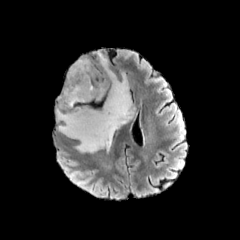
FLAIR MR image.
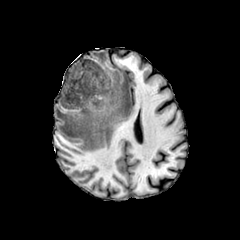
Same slice, T1-weighted MR image.
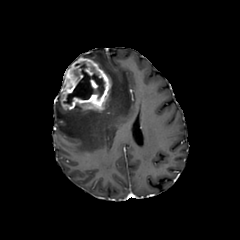
Post-contrast T1-weighted MRI.
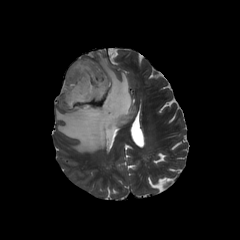
T2-weighted MRI of the same slice.
Head
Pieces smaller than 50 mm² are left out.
enhancing tumor: [60, 57, 111, 111]
necrotic tumor core: [64, 63, 104, 105]
peritumoral edema: [56, 52, 134, 152]